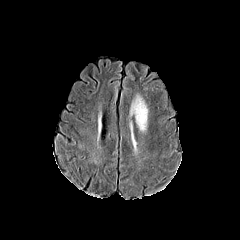
FLAIR MR image.
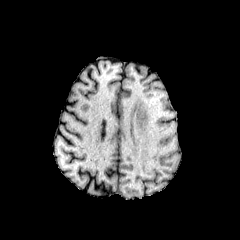
T1-weighted MR image of the same slice.
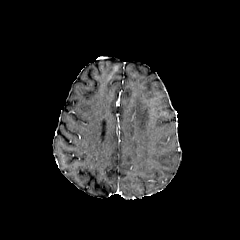
Same slice, post-contrast T1-weighted MR image.
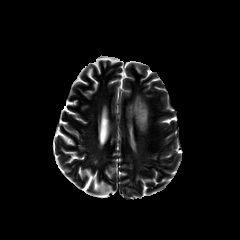
T2-weighted MR.
240x240 px
The peritumoral edema is at [x1=131, y1=96, x2=147, y2=131].